FLAIR MR image.
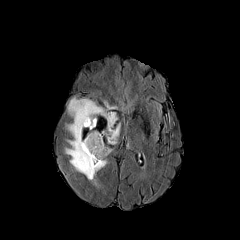
T1-weighted MR.
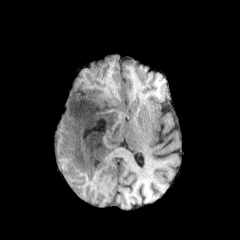
Post-contrast T1-weighted MR.
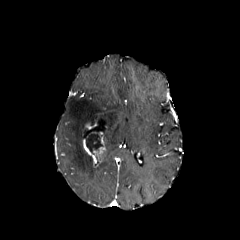
T2-weighted MR image.
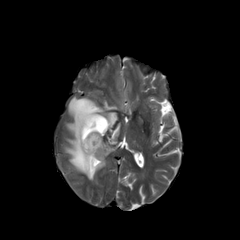
240x240
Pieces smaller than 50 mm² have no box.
The largest necrotic tumor core region appears at bbox(86, 131, 102, 154). The largest enhancing tumor region is at bbox(83, 132, 106, 167). The largest peritumoral edema region is bounded by bbox(65, 97, 121, 187).